Head, Axial plane
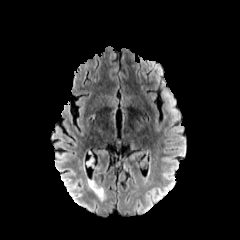
FLAIR MRI.
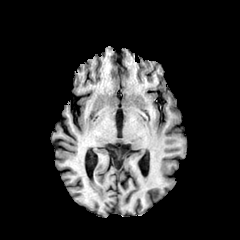
Same slice, T1-weighted magnetic resonance.
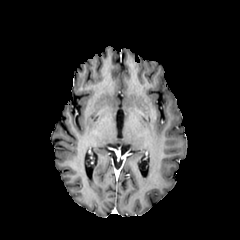
Post-contrast T1-weighted MR.
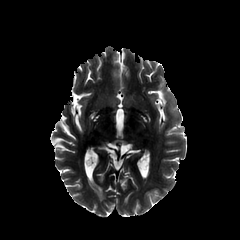
T2-weighted MRI.
peritumoral edema: bbox(163, 88, 176, 111)